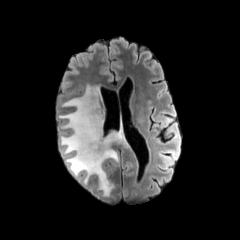
FLAIR MR image.
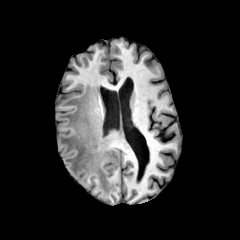
T1-weighted MR image.
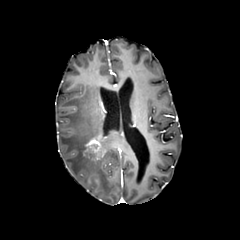
Post-contrast T1-weighted magnetic resonance of the same slice.
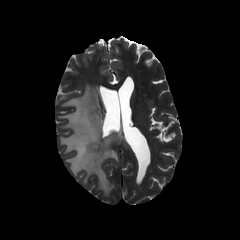
T2-weighted MR.
Brain | Axial plane | 240x240 px
peritumoral edema: bounding box bbox(58, 85, 129, 196)
enhancing tumor: bounding box bbox(83, 135, 105, 159)